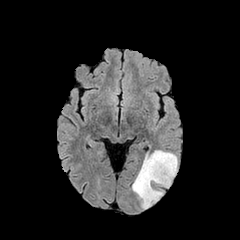
FLAIR MRI.
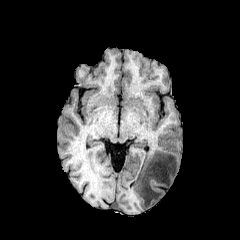
Same slice, T1-weighted MR image.
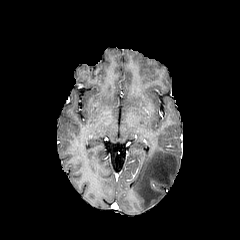
Post-contrast T1-weighted magnetic resonance.
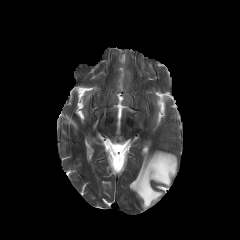
T2-weighted MR image.
Brain
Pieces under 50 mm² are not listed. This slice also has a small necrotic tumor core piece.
Annotated regions:
- peritumoral edema: rect(132, 150, 177, 209)